Image covers 240 mm x 240 mm; Brain; Axial slice; 240x240
FLAIR MR image.
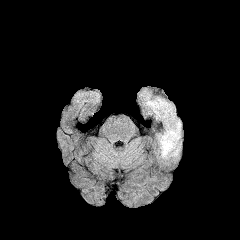
T1-weighted MR.
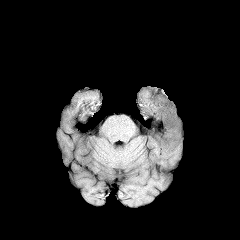
Post-contrast T1-weighted MRI.
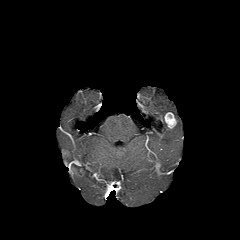
T2-weighted magnetic resonance.
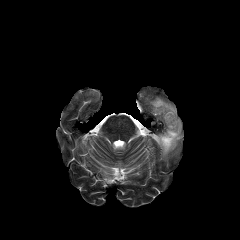
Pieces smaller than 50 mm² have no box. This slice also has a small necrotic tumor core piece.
enhancing tumor: region(164, 112, 177, 128)
peritumoral edema: region(146, 94, 181, 158)